FLAIR MR image.
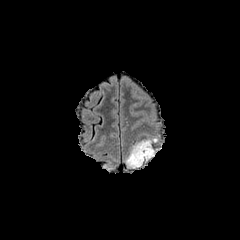
T1-weighted MRI.
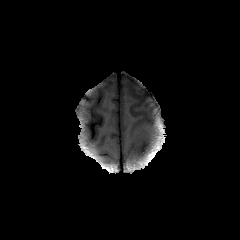
Post-contrast T1-weighted MRI.
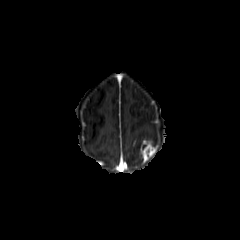
T2-weighted MR.
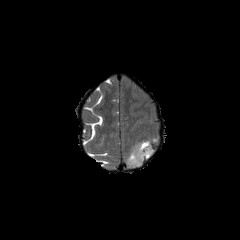
Axial slice. 240x240.
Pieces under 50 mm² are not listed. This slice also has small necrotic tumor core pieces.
{
  "enhancing_tumor": [
    "140, 139, 156, 161"
  ],
  "peritumoral_edema": [
    "126, 140, 143, 168",
    "144, 136, 159, 144"
  ]
}